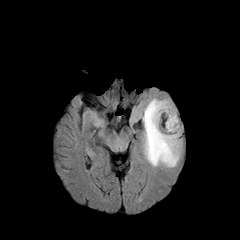
FLAIR MR.
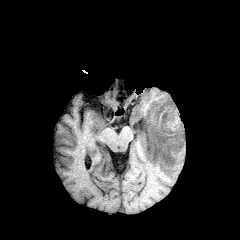
Same slice, T1-weighted magnetic resonance.
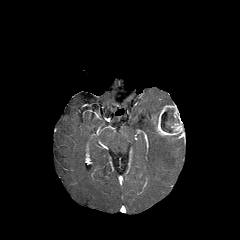
Same slice, post-contrast T1-weighted MR image.
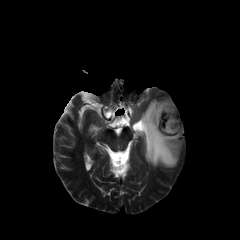
T2-weighted MR.
240x240, Head
The peritumoral edema appears at (x1=140, y1=99, x2=181, y2=167). The enhancing tumor is bounded by (x1=152, y1=105, x2=183, y2=140). The necrotic tumor core is at (x1=161, y1=109, x2=175, y2=132).